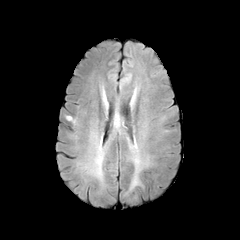
FLAIR MR image.
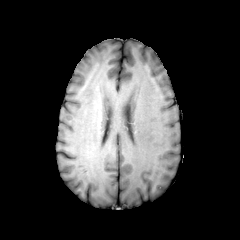
Same slice, T1-weighted MRI.
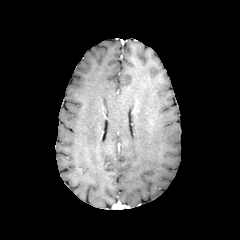
Post-contrast T1-weighted MRI of the same slice.
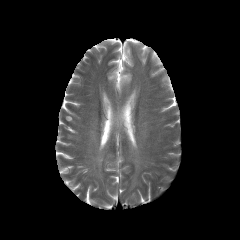
T2-weighted MR image of the same slice.
Image size 240x240
peritumoral edema — 96, 155, 102, 176; 130, 157, 140, 188